Head
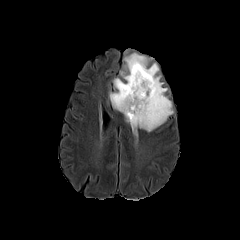
FLAIR MRI.
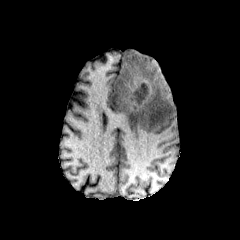
Same slice, T1-weighted MR.
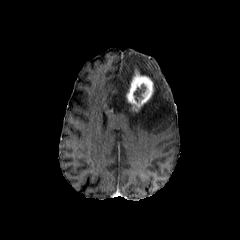
Post-contrast T1-weighted MR image of the same slice.
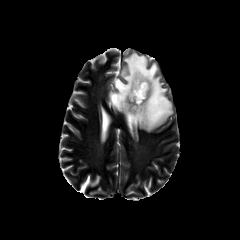
T2-weighted magnetic resonance.
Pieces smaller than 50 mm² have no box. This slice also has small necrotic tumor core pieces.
The largest peritumoral edema region is at <bbox>109, 52, 173, 134</bbox>. The enhancing tumor is located at <bbox>126, 69, 154, 112</bbox>.